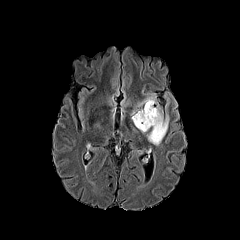
FLAIR MR image.
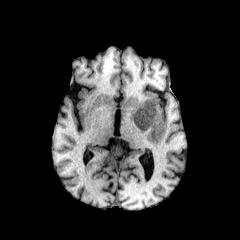
T1-weighted magnetic resonance.
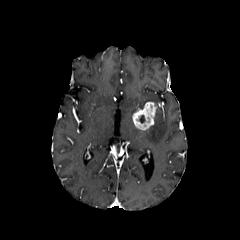
Post-contrast T1-weighted magnetic resonance.
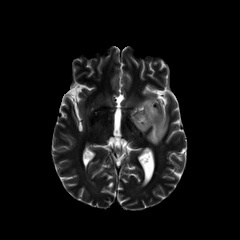
T2-weighted MR of the same slice.
Brain. Axial slice.
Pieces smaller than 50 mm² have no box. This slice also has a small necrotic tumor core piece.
- enhancing tumor: x1=132, y1=102, x2=157, y2=130
- peritumoral edema: x1=138, y1=94, x2=168, y2=145